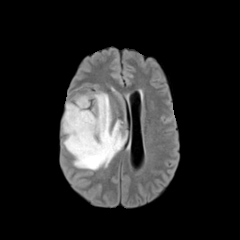
FLAIR magnetic resonance.
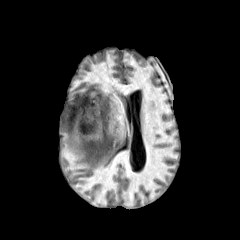
T1-weighted MR.
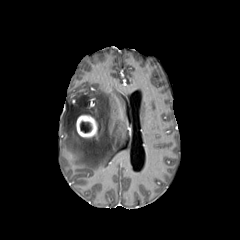
Post-contrast T1-weighted MR.
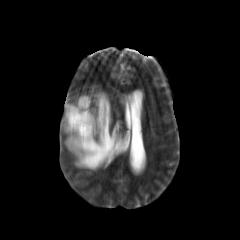
T2-weighted MR image.
Axial view
peritumoral_edema:
  - left=62, top=92, right=125, bottom=170
necrotic_tumor_core:
  - left=80, top=121, right=91, bottom=132
enhancing_tumor:
  - left=76, top=115, right=97, bottom=137